Slice 113 of 155; Axial plane; 240x240 px; Head
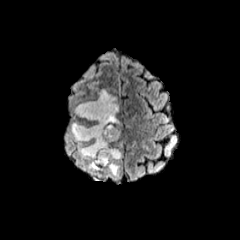
FLAIR magnetic resonance.
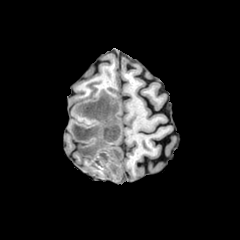
T1-weighted MRI of the same slice.
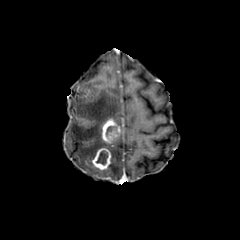
Post-contrast T1-weighted MR image.
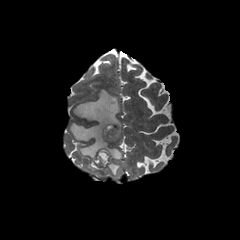
T2-weighted MR image.
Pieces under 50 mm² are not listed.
enhancing tumor at 92 145 111 170, 101 117 121 144
necrotic tumor core at 96 151 107 164, 105 125 117 138
peritumoral edema at 70 89 120 173, 103 144 121 178